FLAIR MRI.
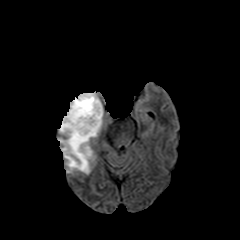
T1-weighted magnetic resonance.
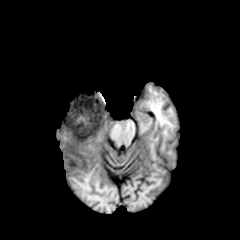
Post-contrast T1-weighted magnetic resonance.
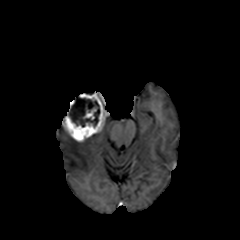
T2-weighted MR.
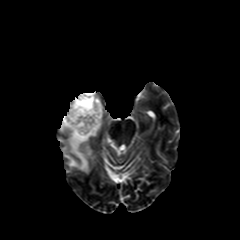
Head.
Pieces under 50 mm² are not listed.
Annotated regions:
* peritumoral edema: [x1=58, y1=125, x2=95, y2=174]
* enhancing tumor: [x1=62, y1=92, x2=106, y2=141], [x1=83, y1=107, x2=96, y2=119]
* necrotic tumor core: [x1=69, y1=98, x2=99, y2=127]